Image width 240 mm. Slice 92 of 155.
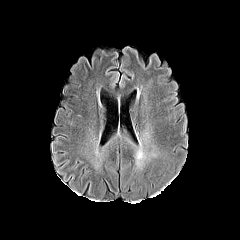
FLAIR MRI.
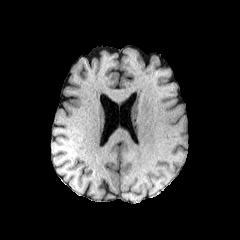
T1-weighted MRI of the same slice.
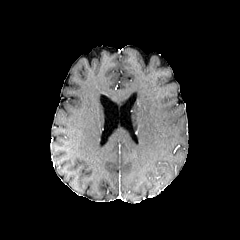
Post-contrast T1-weighted magnetic resonance of the same slice.
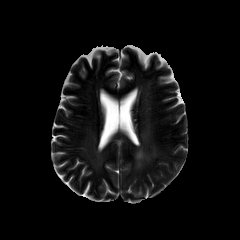
T2-weighted MRI.
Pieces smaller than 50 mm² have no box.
Findings:
* peritumoral edema: [x1=136, y1=147, x2=146, y2=167]